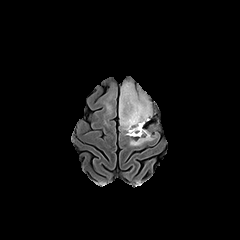
FLAIR MR image.
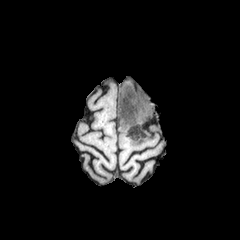
T1-weighted MR of the same slice.
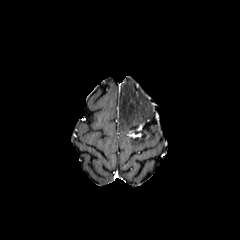
Post-contrast T1-weighted magnetic resonance of the same slice.
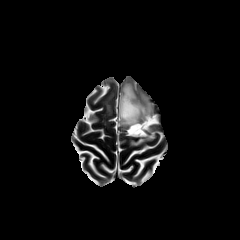
T2-weighted MR image of the same slice.
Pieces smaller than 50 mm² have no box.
peritumoral edema = box=[119, 82, 152, 132]; box=[130, 130, 153, 145]
necrotic tumor core = box=[129, 121, 144, 135]; box=[122, 93, 138, 120]
enhancing tumor = box=[127, 130, 141, 137]